FLAIR MR.
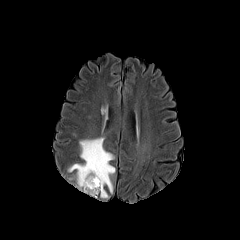
T1-weighted MRI.
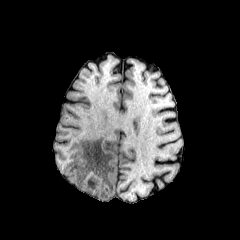
Post-contrast T1-weighted magnetic resonance.
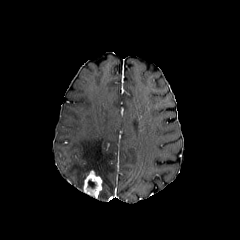
T2-weighted MRI.
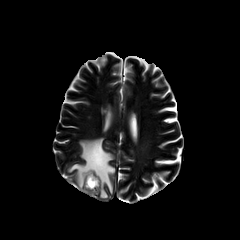
Head. Axial slice.
<segmentation>
  <enhancing_tumor>region(83, 170, 102, 197)</enhancing_tumor>
  <peritumoral_edema>region(68, 137, 115, 198)</peritumoral_edema>
  <necrotic_tumor_core>region(86, 177, 97, 188)</necrotic_tumor_core>
</segmentation>